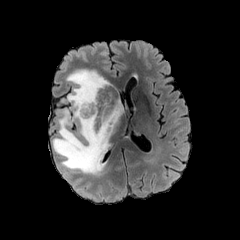
FLAIR magnetic resonance.
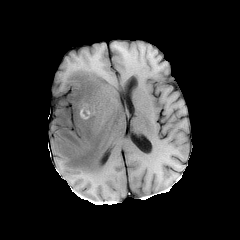
Same slice, T1-weighted MR image.
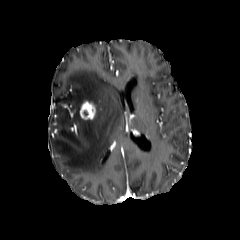
Post-contrast T1-weighted MR image of the same slice.
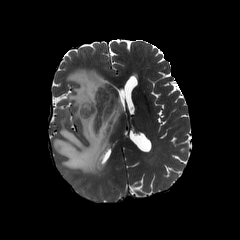
T2-weighted MR image.
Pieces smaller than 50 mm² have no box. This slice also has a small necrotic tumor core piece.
{
  "peritumoral_edema": [
    "[53, 69, 125, 175]"
  ],
  "enhancing_tumor": [
    "[79, 100, 96, 119]"
  ]
}